Axial view; Image size 240x240; Slice 91/155
FLAIR magnetic resonance.
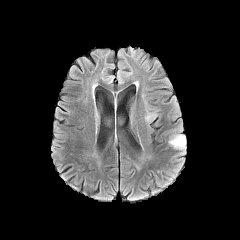
T1-weighted MR.
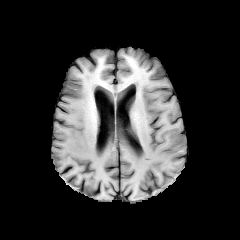
Post-contrast T1-weighted MRI.
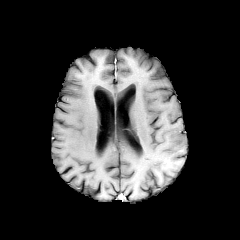
T2-weighted magnetic resonance.
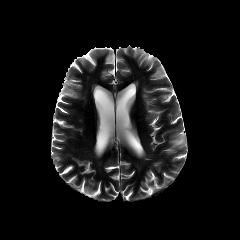
peritumoral_edema:
  - (left=168, top=133, right=186, bottom=148)